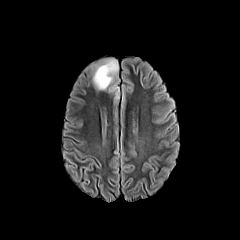
FLAIR MRI.
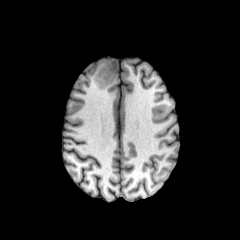
T1-weighted MR.
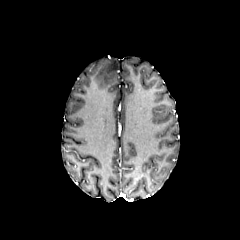
Post-contrast T1-weighted MRI of the same slice.
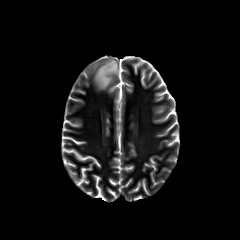
T2-weighted MR.
Axial view.
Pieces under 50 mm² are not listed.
Segmented structures:
* peritumoral edema: box(93, 58, 118, 89)